Brain
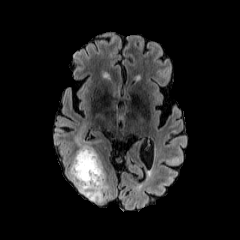
FLAIR MR.
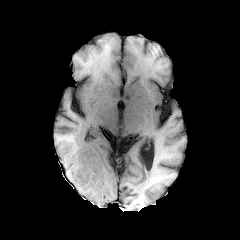
Same slice, T1-weighted MR.
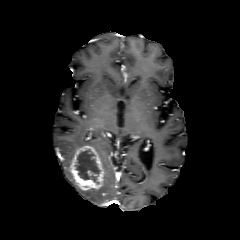
Post-contrast T1-weighted MR image.
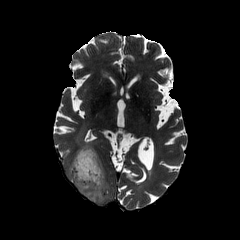
Same slice, T2-weighted MR image.
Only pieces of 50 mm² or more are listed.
{
  "necrotic_tumor_core": [
    {"x1": 74, "y1": 149, "x2": 99, "y2": 183}
  ],
  "enhancing_tumor": [
    {"x1": 70, "y1": 146, "x2": 104, "y2": 190}
  ],
  "peritumoral_edema": [
    {"x1": 67, "y1": 167, "x2": 109, "y2": 203}
  ]
}